Image covers 240 mm x 240 mm, Brain, Axial slice
FLAIR MR image.
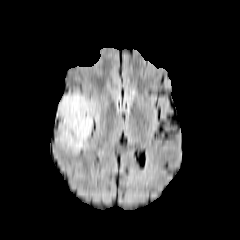
T1-weighted magnetic resonance.
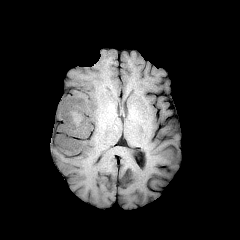
Post-contrast T1-weighted MRI.
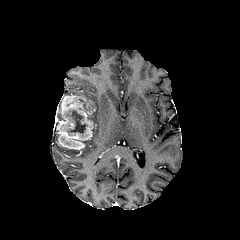
T2-weighted MR.
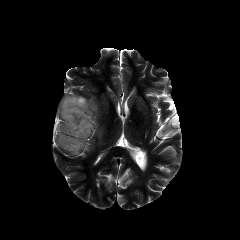
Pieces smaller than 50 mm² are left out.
The largest necrotic tumor core region lies within <box>67,110,86,133</box>. The enhancing tumor appears at <box>57,94,94,149</box>. The largest peritumoral edema region appears at <box>91,101,97,121</box>.